Brain, Slice index 65
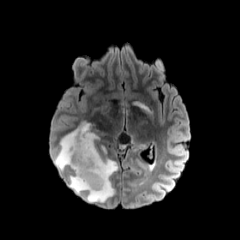
FLAIR MR.
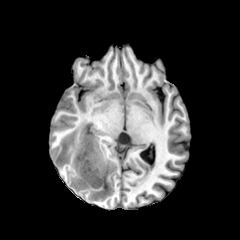
T1-weighted magnetic resonance.
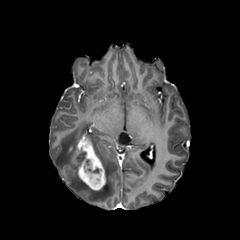
Same slice, post-contrast T1-weighted MRI.
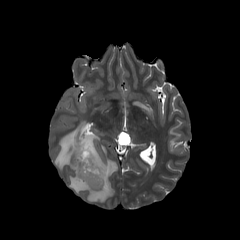
T2-weighted MR image.
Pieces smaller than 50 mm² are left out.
necrotic tumor core: left=78, top=149, right=86, bottom=165 | peritumoral edema: left=54, top=121, right=117, bottom=202 | enhancing tumor: left=71, top=135, right=105, bottom=190